Brain | Image size 240x240 | Slice index 109
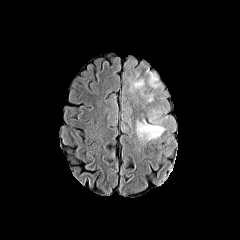
FLAIR MRI.
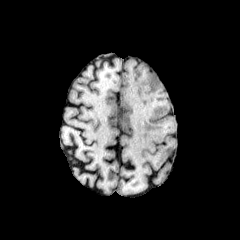
Same slice, T1-weighted MR image.
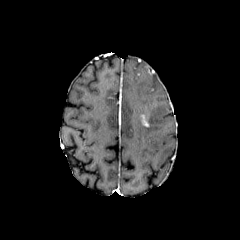
Post-contrast T1-weighted MRI of the same slice.
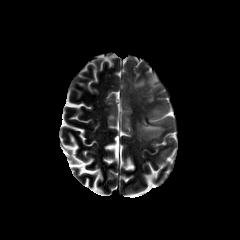
T2-weighted magnetic resonance of the same slice.
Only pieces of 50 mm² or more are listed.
The 3 largest peritumoral edema regions appear at left=137, top=122, right=164, bottom=139; left=132, top=79, right=144, bottom=88; left=149, top=74, right=159, bottom=87. The enhancing tumor is at left=141, top=114, right=148, bottom=126.